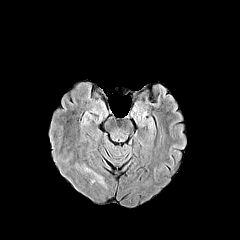
FLAIR magnetic resonance.
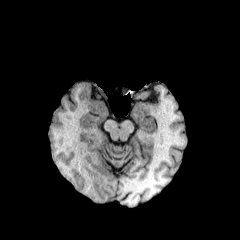
Same slice, T1-weighted MR image.
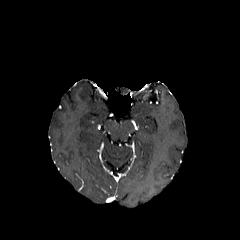
Same slice, post-contrast T1-weighted magnetic resonance.
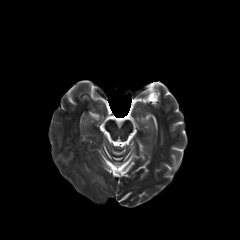
T2-weighted MRI.
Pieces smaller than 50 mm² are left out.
The largest peritumoral edema region is bounded by [82,163,106,186].